FLAIR MR.
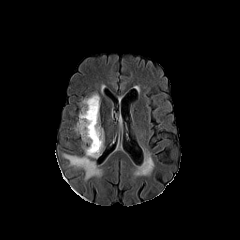
T1-weighted MR image.
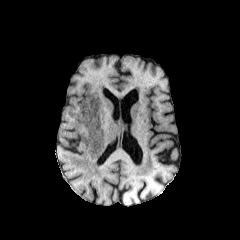
Post-contrast T1-weighted MR.
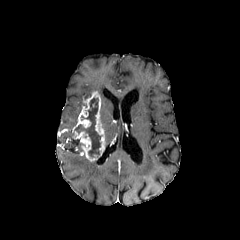
T2-weighted MR.
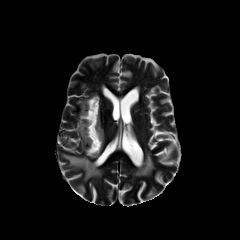
Brain; Axial view
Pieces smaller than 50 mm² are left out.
• peritumoral edema: region(63, 153, 101, 180)
• necrotic tumor core: region(74, 98, 100, 156)
• enhancing tumor: region(72, 129, 97, 161); region(74, 92, 104, 153)